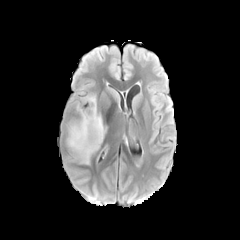
FLAIR MR.
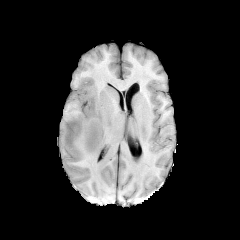
T1-weighted MRI of the same slice.
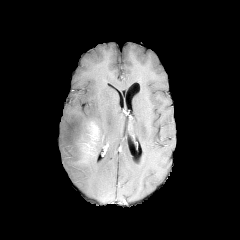
Same slice, post-contrast T1-weighted magnetic resonance.
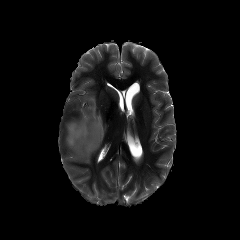
T2-weighted magnetic resonance.
Axial view, Head
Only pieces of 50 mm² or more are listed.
The enhancing tumor is at x1=80, y1=121, x2=102, y2=156. The largest peritumoral edema region is at x1=66, y1=96, x2=105, y2=163.